240x240 px. Axial slice. Brain. Slice 98 of 155.
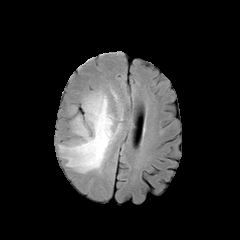
FLAIR MRI.
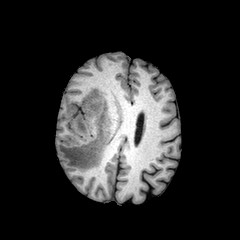
T1-weighted MR image of the same slice.
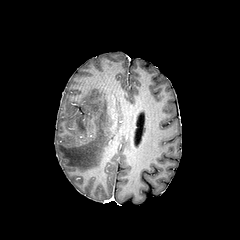
Post-contrast T1-weighted MR image of the same slice.
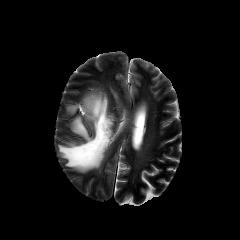
T2-weighted MR image of the same slice.
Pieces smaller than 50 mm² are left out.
peritumoral_edema:
  - [x1=58, y1=90, x2=120, y2=173]